Slice 69 of 155, Axial slice, Image size 240x240, Head
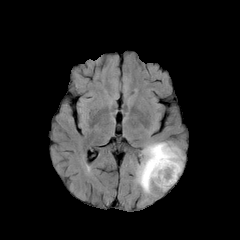
FLAIR magnetic resonance.
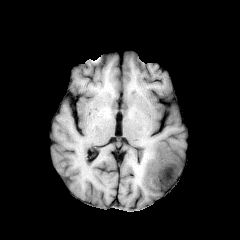
T1-weighted MR.
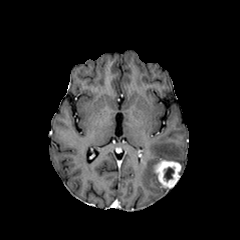
Post-contrast T1-weighted MRI of the same slice.
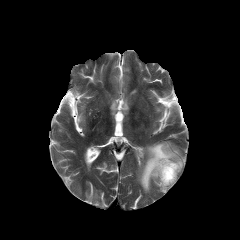
T2-weighted magnetic resonance of the same slice.
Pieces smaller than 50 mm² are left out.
The enhancing tumor lies within rect(153, 159, 181, 188). The largest peritumoral edema region lies within rect(137, 142, 184, 193). The necrotic tumor core is bounded by rect(164, 167, 173, 180).